FLAIR MRI.
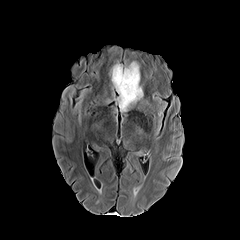
T1-weighted MRI.
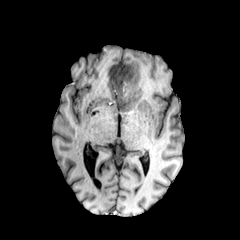
Post-contrast T1-weighted magnetic resonance.
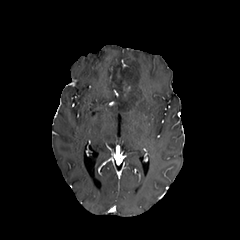
T2-weighted magnetic resonance.
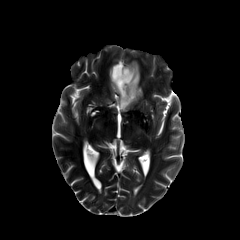
Brain
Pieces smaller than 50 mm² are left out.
peritumoral edema: (110, 60, 143, 113) | enhancing tumor: (122, 79, 130, 97)